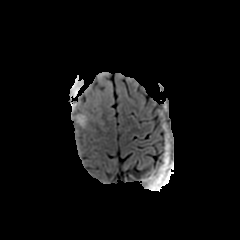
FLAIR magnetic resonance.
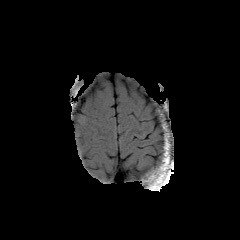
T1-weighted MR of the same slice.
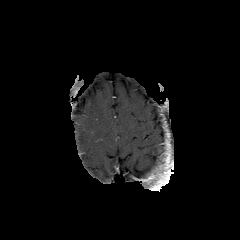
Post-contrast T1-weighted MRI.
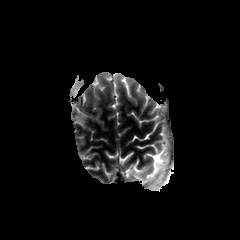
Same slice, T2-weighted MR.
Axial slice; 240x240; Brain
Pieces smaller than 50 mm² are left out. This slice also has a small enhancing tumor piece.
peritumoral edema — {"x1": 71, "y1": 109, "x2": 90, "y2": 127}